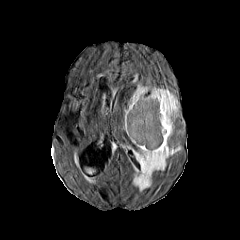
FLAIR magnetic resonance.
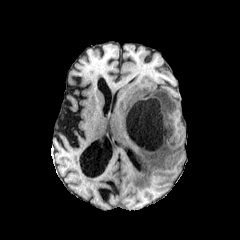
T1-weighted MRI.
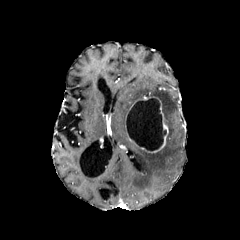
Post-contrast T1-weighted magnetic resonance of the same slice.
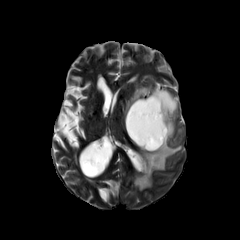
T2-weighted MR image of the same slice.
Head
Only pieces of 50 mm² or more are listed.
<segmentation>
  <peritumoral_edema>region(124, 85, 149, 118); region(133, 87, 181, 190)</peritumoral_edema>
  <enhancing_tumor>region(127, 96, 151, 114); region(139, 96, 168, 153)</enhancing_tumor>
  <necrotic_tumor_core>region(126, 97, 166, 150)</necrotic_tumor_core>
</segmentation>